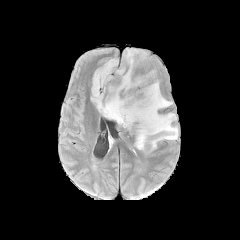
FLAIR MR image.
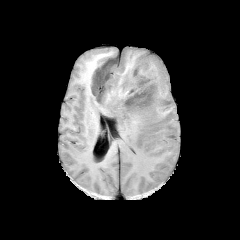
T1-weighted magnetic resonance.
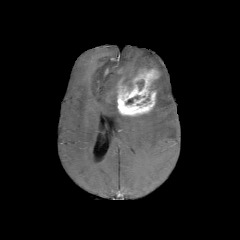
Post-contrast T1-weighted magnetic resonance.
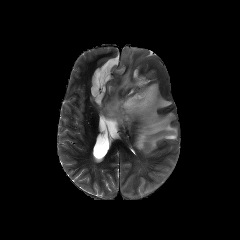
T2-weighted magnetic resonance of the same slice.
Axial slice | 240x240 px
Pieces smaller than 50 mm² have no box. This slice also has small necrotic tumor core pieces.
Findings:
* peritumoral edema: left=91, top=47, right=178, bottom=154
* enhancing tumor: left=117, top=69, right=158, bottom=116